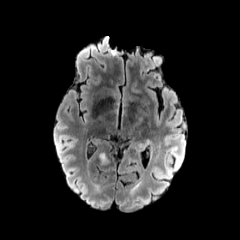
FLAIR MRI.
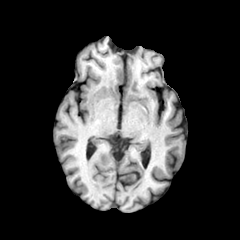
T1-weighted MR.
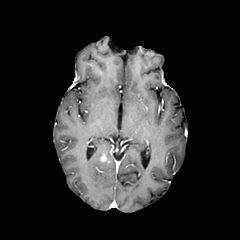
Post-contrast T1-weighted MR image.
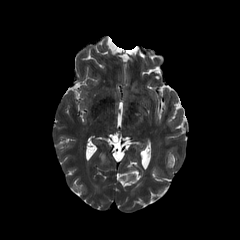
T2-weighted MR of the same slice.
Brain. 240x240.
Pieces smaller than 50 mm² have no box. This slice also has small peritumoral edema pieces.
enhancing tumor: bounding box [x1=100, y1=154, x2=109, y2=162]